Slice 93/155 | Axial slice
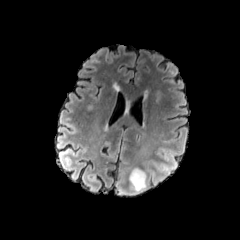
FLAIR MRI.
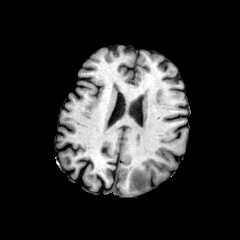
Same slice, T1-weighted MRI.
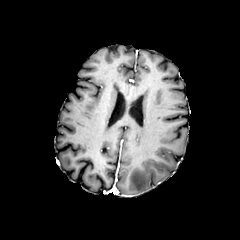
Post-contrast T1-weighted MR.
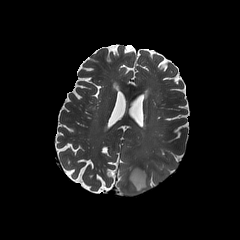
T2-weighted magnetic resonance of the same slice.
The peritumoral edema is bounded by 129, 167, 146, 193.